Axial plane, Image size 240x240, Slice 102 of 155
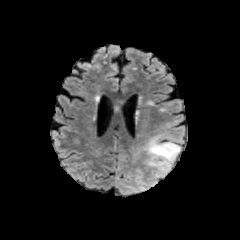
FLAIR MR.
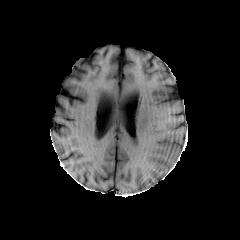
T1-weighted MR image of the same slice.
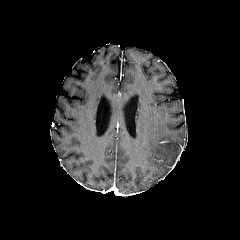
Post-contrast T1-weighted magnetic resonance.
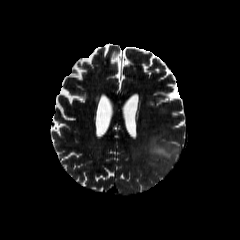
T2-weighted MR image of the same slice.
peritumoral_edema:
  - 143:134:180:174